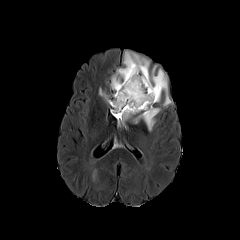
FLAIR MR.
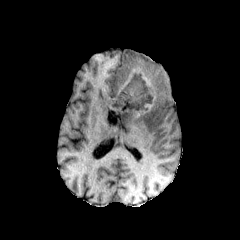
T1-weighted MR image.
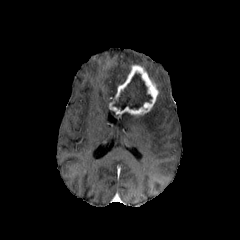
Post-contrast T1-weighted MR image.
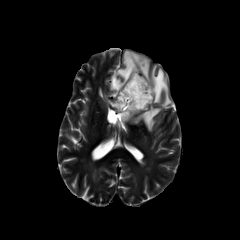
T2-weighted MR image.
Image size 240x240; Brain
peritumoral edema: left=121, top=106, right=160, bottom=131; left=110, top=50, right=172, bottom=107; left=99, top=90, right=111, bottom=103 | enhancing tumor: left=109, top=64, right=159, bottom=115 | necrotic tumor core: left=113, top=73, right=151, bottom=110